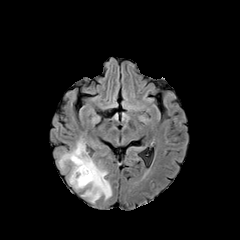
FLAIR MRI.
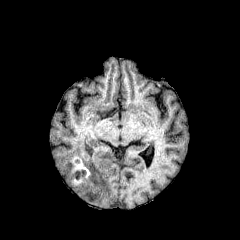
T1-weighted MRI.
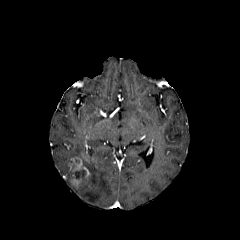
Post-contrast T1-weighted MR image.
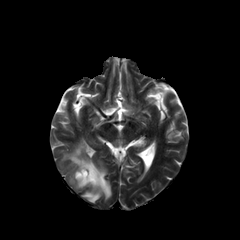
T2-weighted magnetic resonance.
240x240 px
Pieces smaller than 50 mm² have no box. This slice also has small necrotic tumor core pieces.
peritumoral_edema:
  - region(59, 138, 111, 202)
enhancing_tumor:
  - region(76, 157, 84, 170)